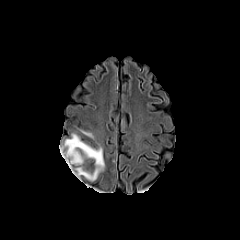
FLAIR MR.
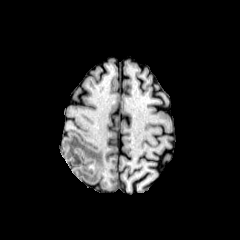
T1-weighted MR image of the same slice.
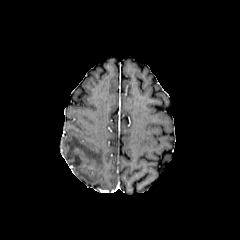
Post-contrast T1-weighted MR image.
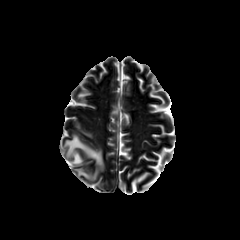
T2-weighted magnetic resonance of the same slice.
Head | Axial slice | 240x240 px
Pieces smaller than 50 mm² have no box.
{"peritumoral_edema": ["(63, 134, 104, 180)"]}